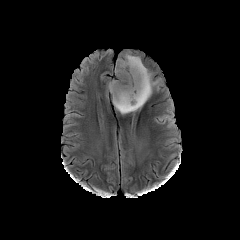
FLAIR MRI.
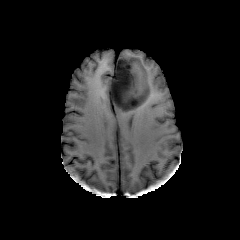
Same slice, T1-weighted MR.
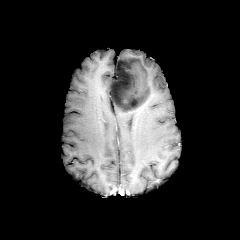
Post-contrast T1-weighted MRI.
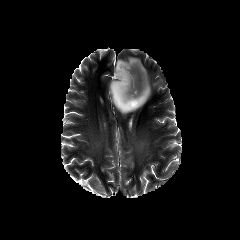
T2-weighted MR of the same slice.
Brain.
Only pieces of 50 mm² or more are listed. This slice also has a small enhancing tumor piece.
{
  "necrotic_tumor_core": [
    "(110, 60, 148, 110)"
  ],
  "peritumoral_edema": [
    "(112, 99, 147, 114)",
    "(118, 54, 159, 98)"
  ]
}